Axial slice. Image width 240 mm, 1.00 mm slice spacing. Head.
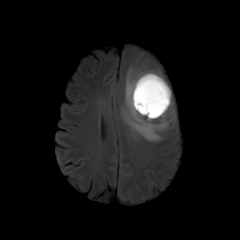
FLAIR MR image.
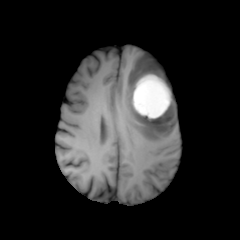
Same slice, T1-weighted magnetic resonance.
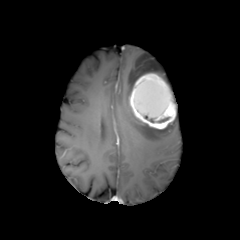
Same slice, post-contrast T1-weighted MR image.
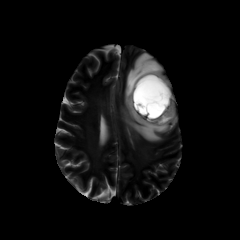
T2-weighted MRI of the same slice.
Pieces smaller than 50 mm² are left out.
The enhancing tumor appears at 129:73:175:129. The necrotic tumor core appears at 144:115:170:123. The largest peritumoral edema region is located at 121:53:176:141.